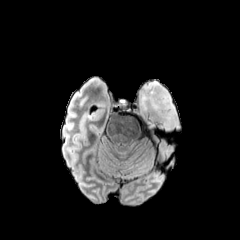
FLAIR MR image.
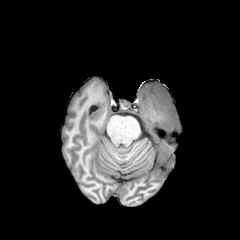
T1-weighted MR image.
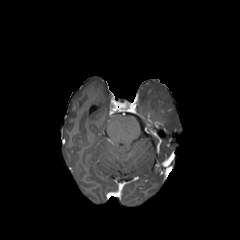
Post-contrast T1-weighted magnetic resonance of the same slice.
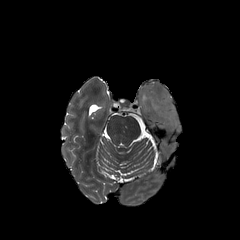
T2-weighted MR image of the same slice.
Brain, Axial slice
Findings:
- peritumoral edema: box=[139, 81, 179, 130]